FLAIR MRI.
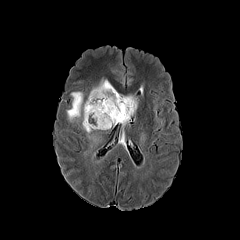
T1-weighted MRI.
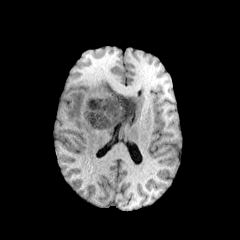
Post-contrast T1-weighted MRI.
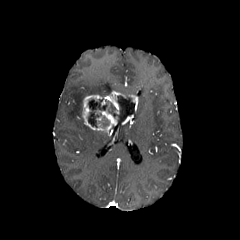
T2-weighted MRI.
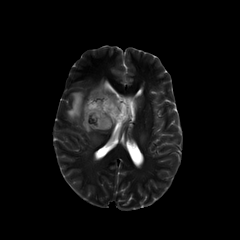
240x240 px
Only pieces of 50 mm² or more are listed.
enhancing_tumor:
  - 82,91,138,131
  - 121,114,133,124
peritumoral_edema:
  - 66,92,83,121
  - 82,121,93,133
  - 89,80,115,95
necrotic_tumor_core:
  - 88,99,107,127
  - 109,96,134,124